FLAIR MR image.
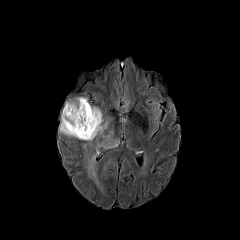
T1-weighted MR image.
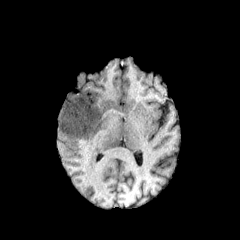
Post-contrast T1-weighted MRI.
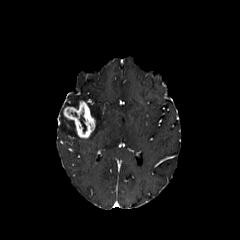
T2-weighted MRI.
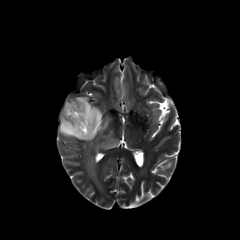
Axial plane, Head
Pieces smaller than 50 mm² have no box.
peritumoral edema: box=[86, 155, 99, 186]; box=[59, 97, 119, 150] | enhancing tumor: box=[63, 100, 95, 138] | necrotic tumor core: box=[79, 115, 86, 132]